FLAIR MR.
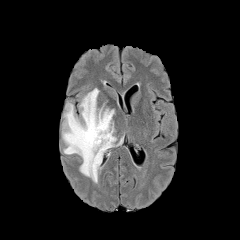
T1-weighted magnetic resonance.
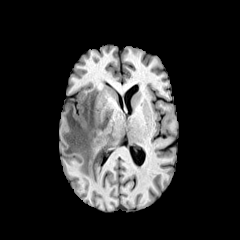
Post-contrast T1-weighted MR image.
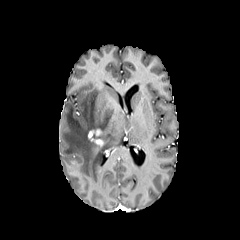
T2-weighted MRI.
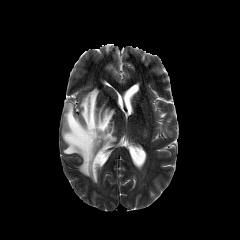
Axial plane | Head | 240x240 px
The enhancing tumor appears at {"x1": 88, "y1": 129, "x2": 103, "y2": 146}. The peritumoral edema is bounded by {"x1": 62, "y1": 88, "x2": 122, "y2": 183}.